Axial view. Brain.
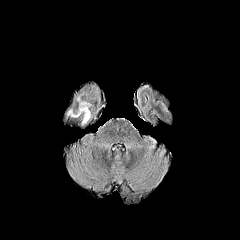
FLAIR MR.
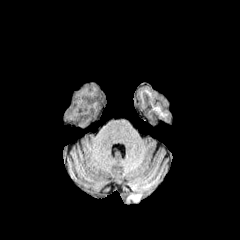
T1-weighted MRI.
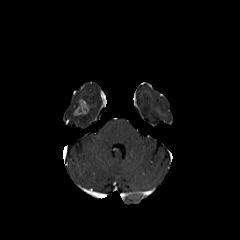
Same slice, post-contrast T1-weighted MR image.
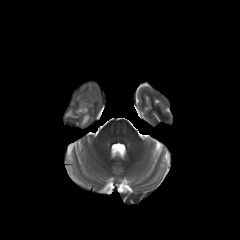
T2-weighted MR.
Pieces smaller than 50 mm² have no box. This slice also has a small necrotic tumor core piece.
<segmentation>
  <peritumoral_edema>bbox=[82, 110, 91, 125]; bbox=[67, 109, 78, 117]</peritumoral_edema>
  <enhancing_tumor>bbox=[73, 98, 89, 115]</enhancing_tumor>
</segmentation>